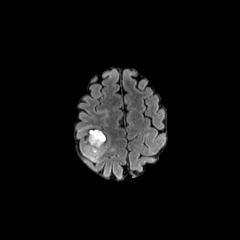
FLAIR MR image.
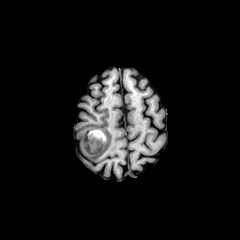
T1-weighted MR.
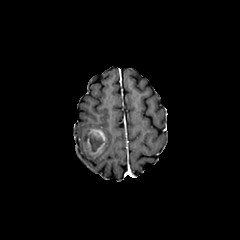
Post-contrast T1-weighted MR of the same slice.
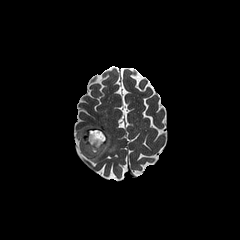
T2-weighted magnetic resonance.
Brain. Axial plane.
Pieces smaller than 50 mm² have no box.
necrotic tumor core — (89, 133, 103, 151)
peritumoral edema — (81, 143, 109, 161), (79, 125, 91, 136)
enhancing tumor — (83, 129, 106, 156)